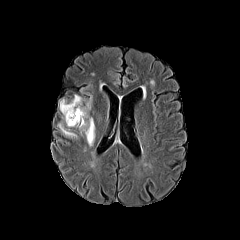
FLAIR MR image.
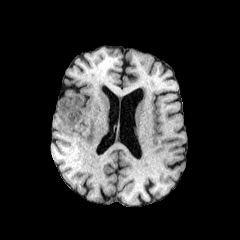
T1-weighted MRI.
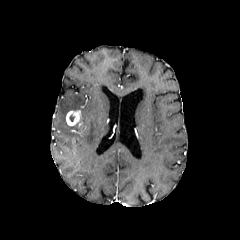
Post-contrast T1-weighted MR image of the same slice.
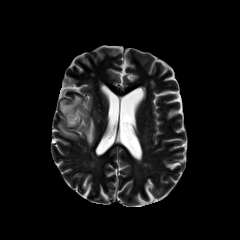
T2-weighted MRI of the same slice.
Image size 240x240.
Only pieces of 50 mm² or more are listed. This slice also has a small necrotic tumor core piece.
peritumoral edema: bounding box rect(58, 94, 95, 146)
enhancing tumor: bounding box rect(66, 110, 81, 126)